FLAIR MR image.
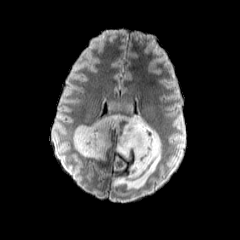
T1-weighted magnetic resonance.
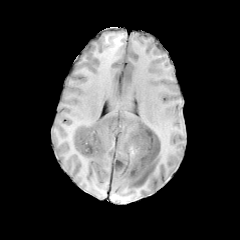
Post-contrast T1-weighted MR.
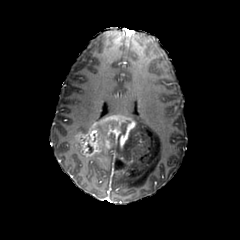
T2-weighted magnetic resonance.
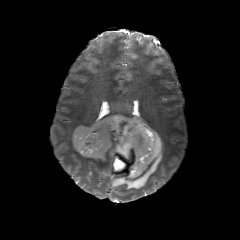
Axial slice | Head
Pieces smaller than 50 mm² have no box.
Findings:
- necrotic tumor core: box(119, 120, 130, 136)
- enhancing tumor: box(73, 114, 137, 158)
- peritumoral edema: box(74, 125, 89, 134); box(96, 152, 108, 160); box(103, 99, 161, 189)